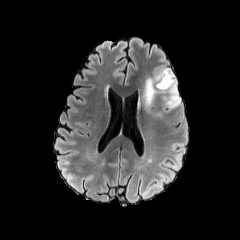
FLAIR MR.
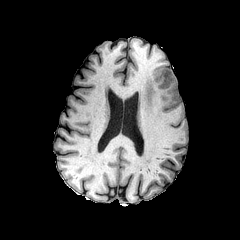
Same slice, T1-weighted magnetic resonance.
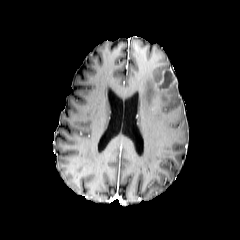
Post-contrast T1-weighted MRI of the same slice.
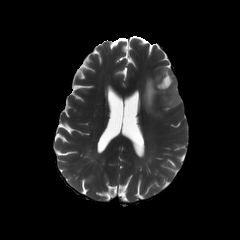
T2-weighted magnetic resonance.
Brain. Axial view.
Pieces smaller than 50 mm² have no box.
Segmented structures:
- necrotic tumor core: <box>160,72,172,88</box>
- peritumoral edema: <box>138,71,181,116</box>
- enhancing tumor: <box>155,69,175,90</box>